FLAIR MRI.
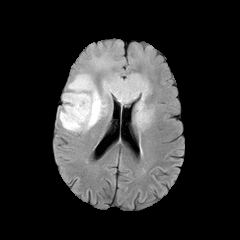
T1-weighted MR image.
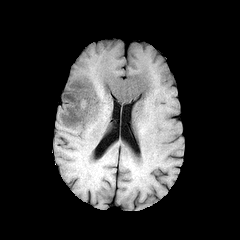
Post-contrast T1-weighted MR image.
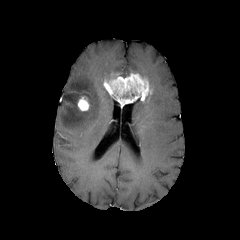
T2-weighted magnetic resonance.
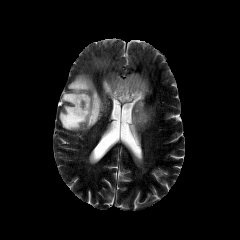
Brain | Axial slice | Image size 240x240
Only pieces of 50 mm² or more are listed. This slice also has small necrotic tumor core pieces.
peritumoral edema at [x1=91, y1=53, x2=116, y2=70], [x1=59, y1=71, x2=111, y2=132], [x1=134, y1=100, x2=153, y2=129]
enhancing tumor at [x1=103, y1=72, x2=151, y2=106], [x1=77, y1=96, x2=89, y2=111]